Slice index 81. Axial view. Image size 240x240.
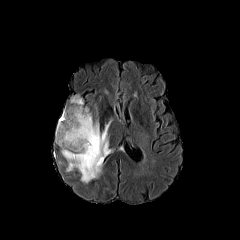
FLAIR MR.
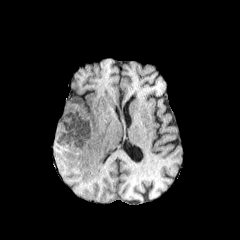
Same slice, T1-weighted MR.
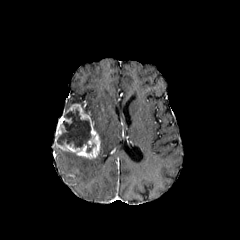
Post-contrast T1-weighted MRI.
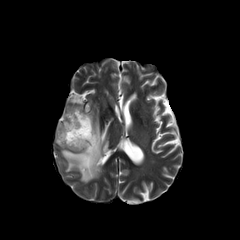
Same slice, T2-weighted MRI.
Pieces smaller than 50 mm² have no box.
necrotic tumor core — 57 108 94 152
peritumoral edema — 61 119 110 183, 70 95 83 104
enhancing tumor — 54 104 100 159